FLAIR magnetic resonance.
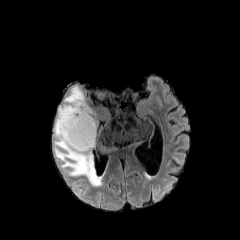
T1-weighted MRI.
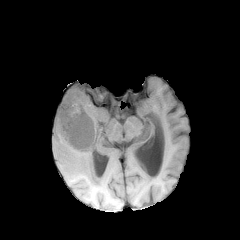
Post-contrast T1-weighted MRI.
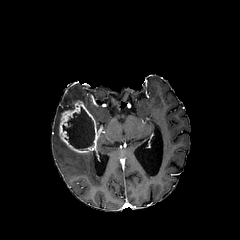
T2-weighted magnetic resonance.
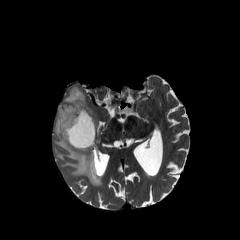
Head; Axial view
The peritumoral edema is at 54, 86, 103, 186. The necrotic tumor core lies within 62, 107, 94, 150. The enhancing tumor lies within 59, 100, 98, 153.